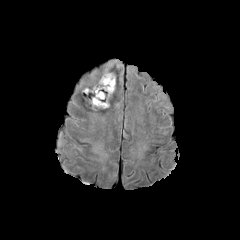
FLAIR magnetic resonance.
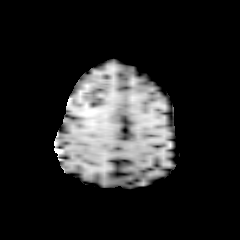
T1-weighted MR of the same slice.
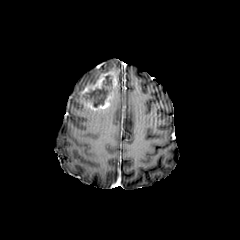
Post-contrast T1-weighted MR image.
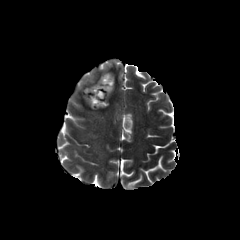
T2-weighted MR image.
Axial plane, Head
2 necrotic tumor core regions are located at x1=103, y1=75, x2=111, y2=85; x1=90, y1=88, x2=107, y2=107. The enhancing tumor lies within x1=81, y1=72, x2=118, y2=110.